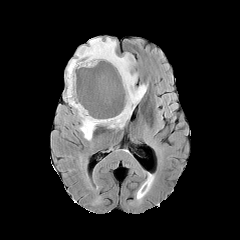
FLAIR MR.
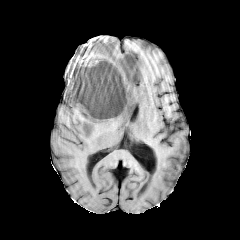
T1-weighted magnetic resonance of the same slice.
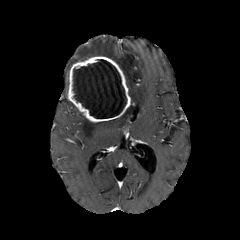
Same slice, post-contrast T1-weighted MR image.
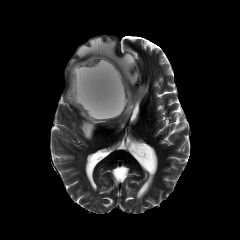
Same slice, T2-weighted MR.
Axial plane
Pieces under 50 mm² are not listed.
enhancing tumor: x1=66 y1=56 x2=134 y2=122 | necrotic tumor core: x1=73 y1=59 x2=126 y2=118 | peritumoral edema: x1=66 y1=37 x2=147 y2=140